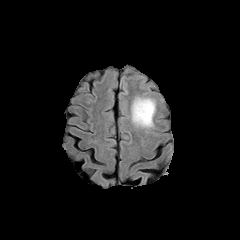
FLAIR magnetic resonance.
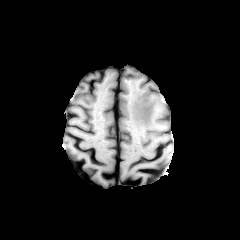
Same slice, T1-weighted MR.
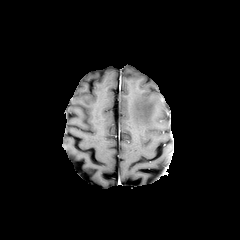
Post-contrast T1-weighted magnetic resonance.
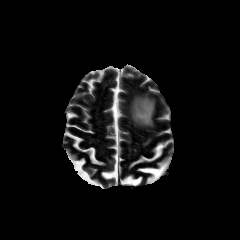
Same slice, T2-weighted MR.
Head
The peritumoral edema is bounded by 131, 97, 155, 127.